Image size 240x240, Head
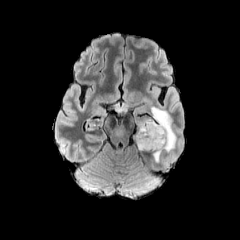
FLAIR MRI.
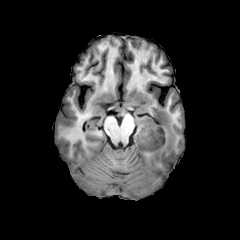
T1-weighted MRI of the same slice.
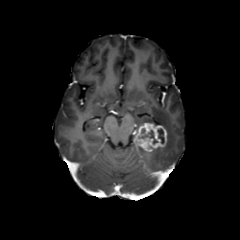
Post-contrast T1-weighted MRI.
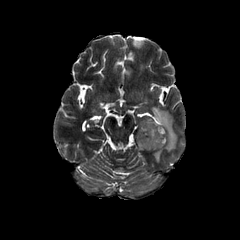
Same slice, T2-weighted MR.
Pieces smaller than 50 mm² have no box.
Segmented structures:
* enhancing tumor: bbox=[134, 123, 166, 151]
* peritumoral edema: bbox=[132, 107, 176, 163]
* necrotic tumor core: bbox=[141, 130, 157, 143]; bbox=[157, 128, 164, 143]